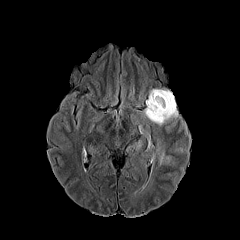
FLAIR MR.
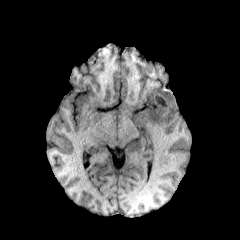
T1-weighted MR.
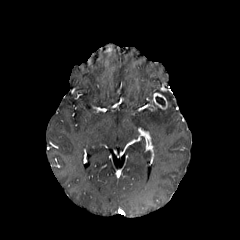
Same slice, post-contrast T1-weighted magnetic resonance.
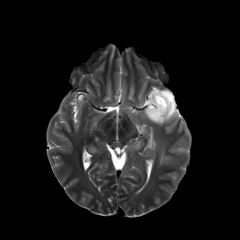
T2-weighted MRI.
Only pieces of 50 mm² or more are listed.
The largest necrotic tumor core region is at [155,96,165,106]. The 2 largest peritumoral edema regions are bounded by [144,90,178,125], [146,89,161,103]. The enhancing tumor is at [148,93,167,110].